FLAIR MR image.
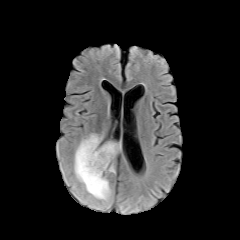
T1-weighted MR image.
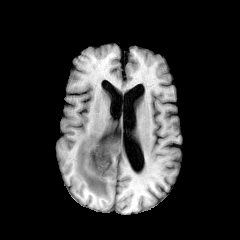
Post-contrast T1-weighted MRI.
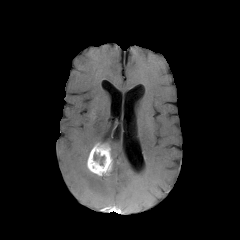
T2-weighted MR.
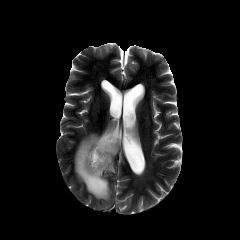
Image size 240x240
necrotic tumor core: bounding box (91, 152, 105, 167)
peritumoral edema: bounding box (74, 133, 112, 208), (106, 140, 121, 173)
enhancing tumor: bounding box (86, 142, 112, 176)